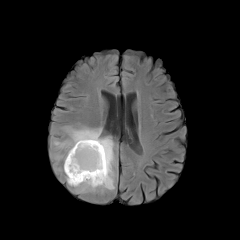
FLAIR magnetic resonance.
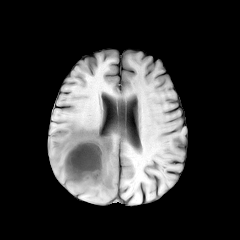
T1-weighted MR image of the same slice.
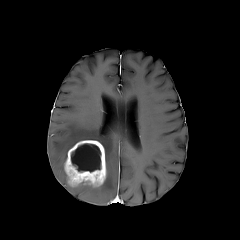
Post-contrast T1-weighted MR image.
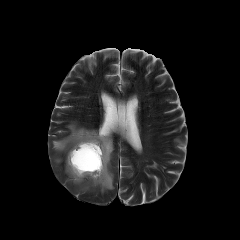
T2-weighted magnetic resonance.
Axial plane. Head.
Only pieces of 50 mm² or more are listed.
peritumoral_edema:
  - l=53, t=126, r=114, b=192
necrotic_tumor_core:
  - l=71, t=144, r=100, b=172
enhancing_tumor:
  - l=64, t=140, r=106, b=186